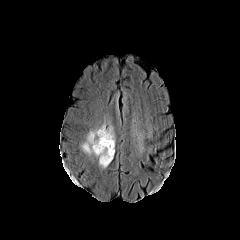
FLAIR MR.
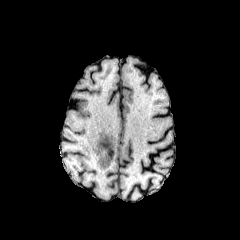
T1-weighted magnetic resonance.
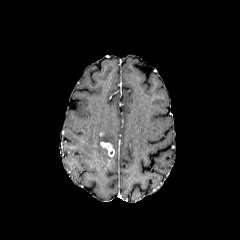
Post-contrast T1-weighted MR of the same slice.
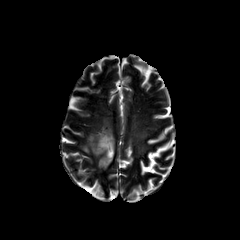
T2-weighted MR image of the same slice.
Head
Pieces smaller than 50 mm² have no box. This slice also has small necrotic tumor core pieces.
enhancing tumor: (100,142,114,157) | peritumoral edema: (82,123,115,167)